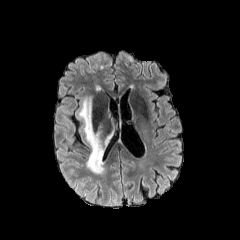
FLAIR MR image.
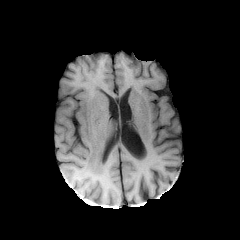
T1-weighted MR image of the same slice.
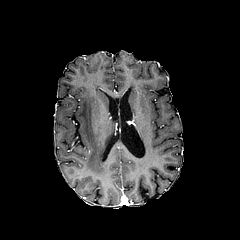
Post-contrast T1-weighted magnetic resonance of the same slice.
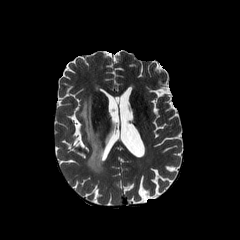
T2-weighted MR image.
Head; Axial view
The peritumoral edema appears at bbox=[79, 97, 111, 173].